Head. Image size 240x240. Axial plane.
FLAIR MRI.
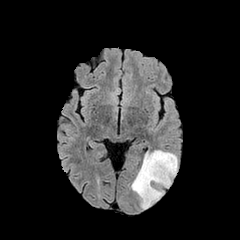
T1-weighted MR.
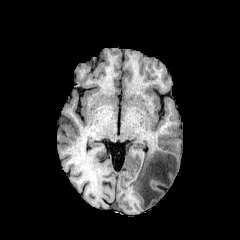
Post-contrast T1-weighted MRI.
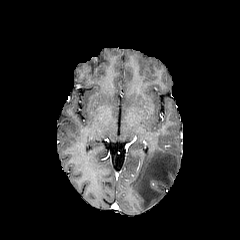
T2-weighted MRI.
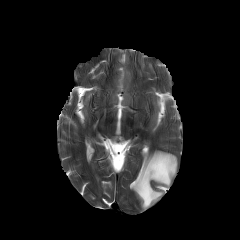
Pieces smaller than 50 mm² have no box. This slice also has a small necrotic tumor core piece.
peritumoral edema: bounding box 131,150,177,209